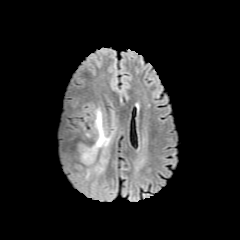
FLAIR magnetic resonance.
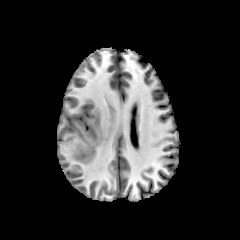
T1-weighted MRI of the same slice.
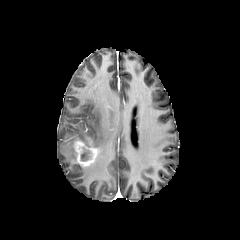
Post-contrast T1-weighted MRI of the same slice.
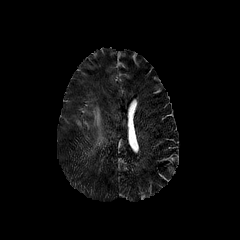
T2-weighted MR.
Head
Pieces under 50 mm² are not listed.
<segmentation>
  <peritumoral_edema>l=91, t=107, r=114, b=172</peritumoral_edema>
  <enhancing_tumor>l=72, t=139, r=97, b=165</enhancing_tumor>
  <necrotic_tumor_core>l=81, t=149, r=89, b=161</necrotic_tumor_core>
</segmentation>